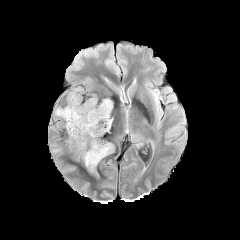
FLAIR MRI.
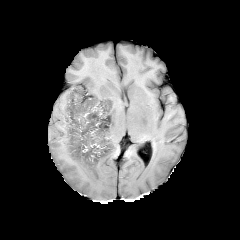
T1-weighted MR.
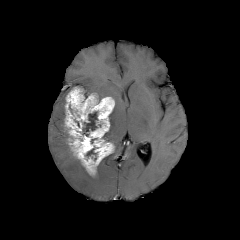
Post-contrast T1-weighted MRI.
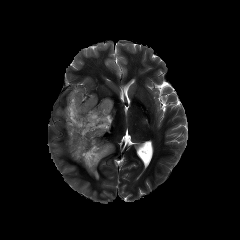
T2-weighted MRI.
Axial plane
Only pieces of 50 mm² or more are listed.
{"peritumoral_edema": ["(55, 107, 65, 119)"], "enhancing_tumor": ["(65, 87, 114, 175)"], "necrotic_tumor_core": ["(83, 112, 97, 136)"]}